FLAIR magnetic resonance.
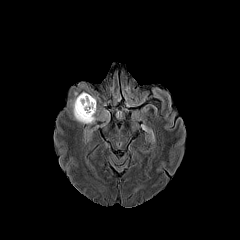
T1-weighted MR image.
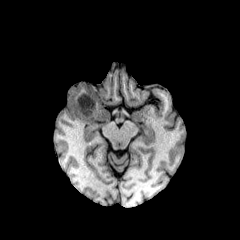
Post-contrast T1-weighted MR.
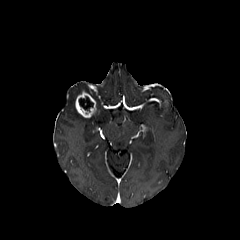
T2-weighted magnetic resonance.
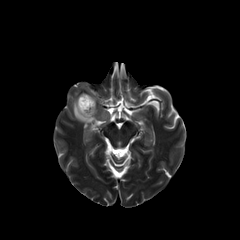
Head; 240x240
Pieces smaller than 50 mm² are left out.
necrotic tumor core — <bbox>79, 96, 93, 111</bbox>
enhancing tumor — <bbox>75, 92, 96, 118</bbox>
peritumoral edema — <bbox>70, 92, 109, 126</bbox>, <bbox>84, 126, 92, 140</bbox>